Axial view; Slice 84 of 155; Head
FLAIR MRI.
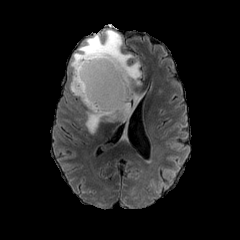
T1-weighted MR image.
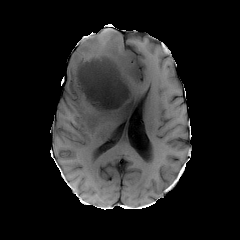
Post-contrast T1-weighted MRI.
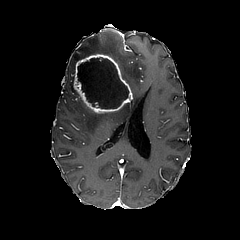
T2-weighted MRI.
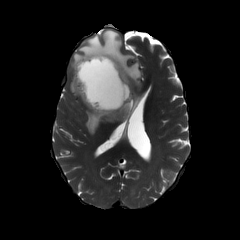
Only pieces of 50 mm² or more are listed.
<segmentation>
  <enhancing_tumor>left=73, top=53, right=132, bottom=113</enhancing_tumor>
  <peritumoral_edema>left=70, top=29, right=141, bottom=133</peritumoral_edema>
  <necrotic_tumor_core>left=77, top=57, right=128, bottom=108</necrotic_tumor_core>
</segmentation>